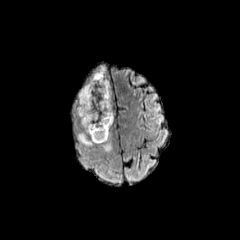
FLAIR magnetic resonance.
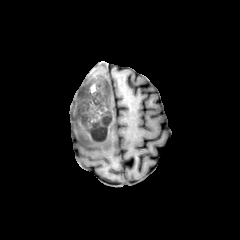
Same slice, T1-weighted MRI.
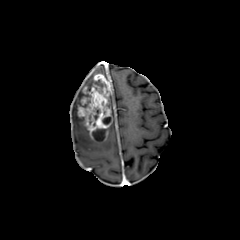
Post-contrast T1-weighted MR.
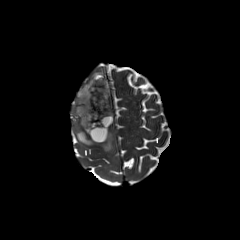
T2-weighted MR of the same slice.
Brain
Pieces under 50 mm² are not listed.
peritumoral_edema:
  - x1=75, y1=87, x2=111, y2=151
  - x1=84, y1=66, x2=106, y2=86
necrotic_tumor_core:
  - x1=102, y1=117, x2=111, y2=124
  - x1=93, y1=108, x2=100, y2=120
  - x1=94, y1=79, x2=106, y2=93
  - x1=92, y1=129, x2=105, y2=141
enhancing_tumor:
  - x1=78, y1=74, x2=112, y2=141